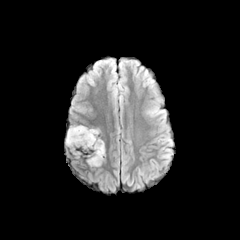
FLAIR MR image.
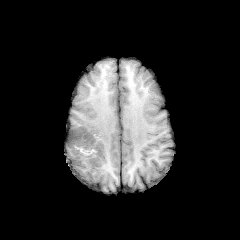
T1-weighted MR of the same slice.
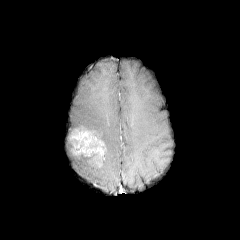
Same slice, post-contrast T1-weighted MR.
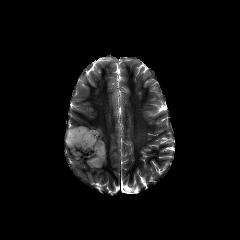
T2-weighted MR image.
Brain
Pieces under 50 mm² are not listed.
{
  "peritumoral_edema": [
    "<box>87,152,97,166</box>",
    "<box>66,126,99,149</box>"
  ],
  "enhancing_tumor": [
    "<box>68,127,105,166</box>"
  ]
}